Axial slice
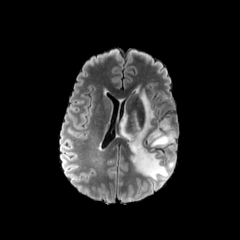
FLAIR MR image.
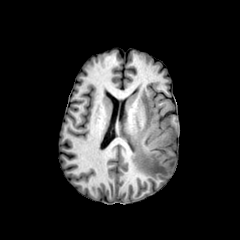
T1-weighted MR.
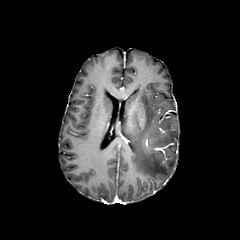
Post-contrast T1-weighted magnetic resonance.
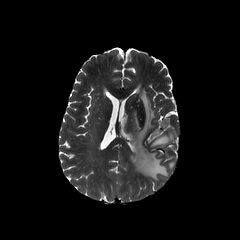
T2-weighted magnetic resonance of the same slice.
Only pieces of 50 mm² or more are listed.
The 2 largest peritumoral edema regions are located at (left=149, top=129, right=174, bottom=149), (left=121, top=93, right=174, bottom=180).